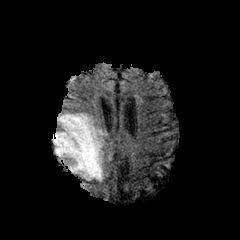
FLAIR MRI.
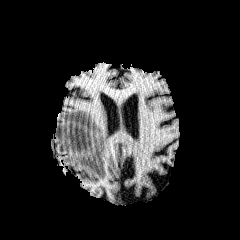
T1-weighted MRI.
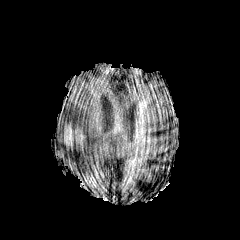
Post-contrast T1-weighted MRI.
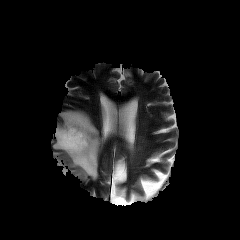
Same slice, T2-weighted MR.
Axial plane.
{"peritumoral_edema": ["bbox(53, 111, 101, 180)"], "enhancing_tumor": ["bbox(59, 123, 85, 151)"]}